FLAIR MRI.
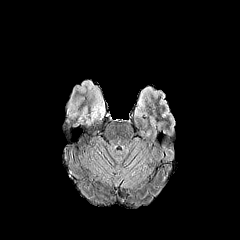
T1-weighted MR image.
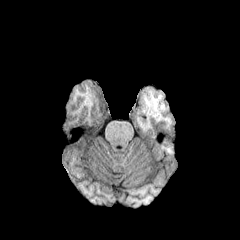
Post-contrast T1-weighted MRI.
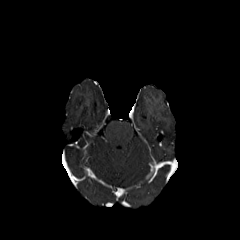
T2-weighted MR image.
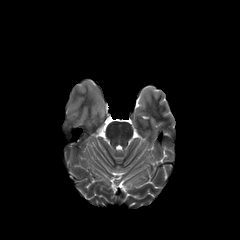
Head
<segmentation>
  <peritumoral_edema>[x1=93, y1=98, x2=104, y2=114]</peritumoral_edema>
</segmentation>